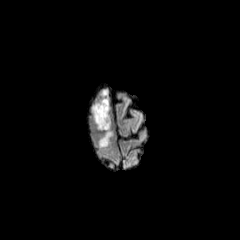
FLAIR MR.
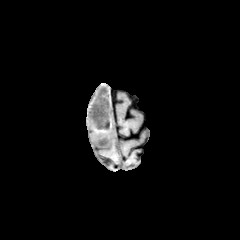
T1-weighted magnetic resonance.
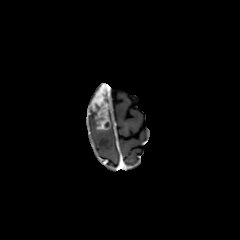
Post-contrast T1-weighted magnetic resonance of the same slice.
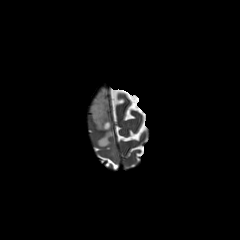
Same slice, T2-weighted MR.
Axial plane
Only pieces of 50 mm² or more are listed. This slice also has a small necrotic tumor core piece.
{"peritumoral_edema": ["[91,107,97,129]", "[96,114,113,147]", "[104,89,109,112]"], "enhancing_tumor": ["[92,89,109,129]"]}